FLAIR MR.
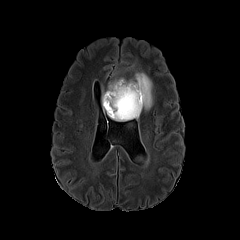
T1-weighted MR.
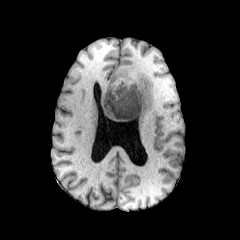
Post-contrast T1-weighted magnetic resonance.
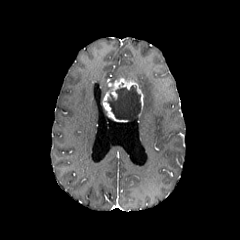
T2-weighted magnetic resonance.
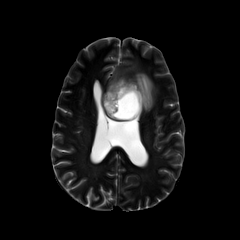
Axial slice.
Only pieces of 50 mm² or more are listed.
The largest enhancing tumor region appears at x1=103, y1=78, x2=143, y2=122. The largest peritumoral edema region is bounded by x1=130, y1=72, x2=152, y2=110. The largest necrotic tumor core region is located at x1=107, y1=85, x2=141, y2=121.